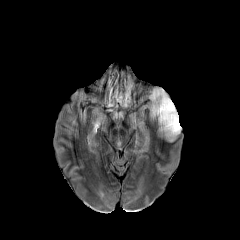
FLAIR magnetic resonance.
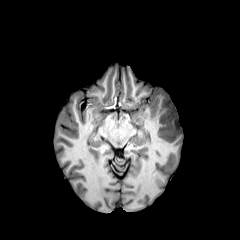
T1-weighted MR.
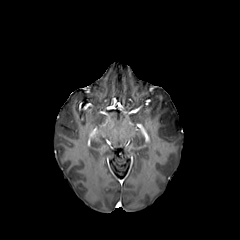
Same slice, post-contrast T1-weighted MR.
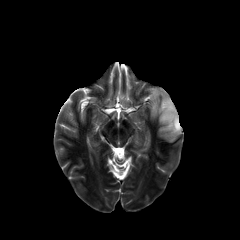
T2-weighted magnetic resonance of the same slice.
Axial plane
peritumoral_edema:
  - bbox(151, 88, 181, 141)